FLAIR MR image.
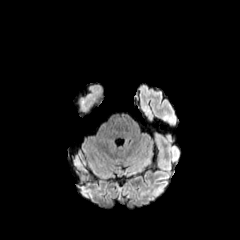
T1-weighted magnetic resonance.
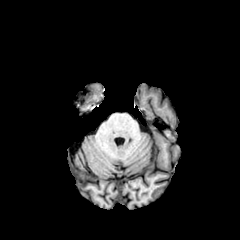
Post-contrast T1-weighted MR.
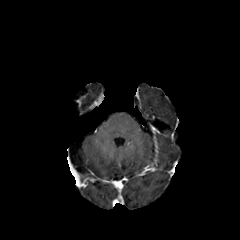
T2-weighted magnetic resonance.
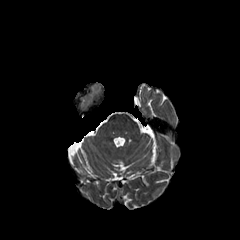
Axial plane
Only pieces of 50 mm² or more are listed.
peritumoral edema: bounding box <box>79,95,92,107</box>